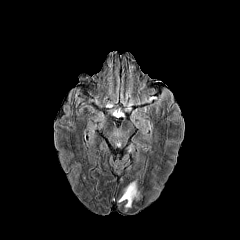
FLAIR magnetic resonance.
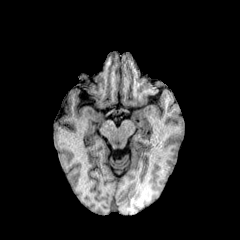
T1-weighted MR.
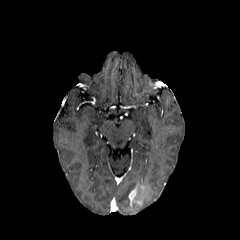
Post-contrast T1-weighted MR of the same slice.
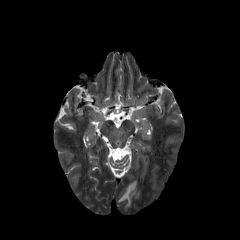
T2-weighted magnetic resonance.
Axial plane.
Segmented structures:
- enhancing tumor: bbox=[128, 188, 136, 203]
- peritumoral edema: bbox=[118, 179, 137, 208]; bbox=[132, 189, 141, 202]